Image width 240 mm, Slice index 126, Image size 240x240
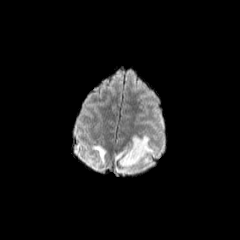
FLAIR MR.
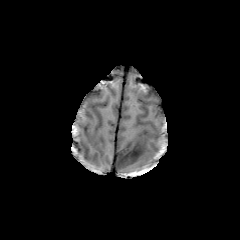
T1-weighted MRI.
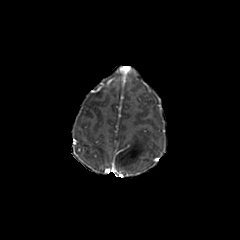
Post-contrast T1-weighted MRI.
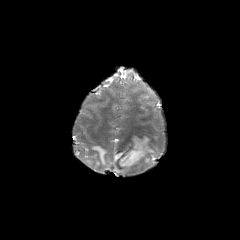
T2-weighted MRI.
3 peritumoral edema regions appear at 115,135,153,175; 82,156,95,165; 91,145,106,164.